Image width 240 mm
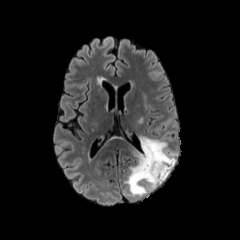
FLAIR MR image.
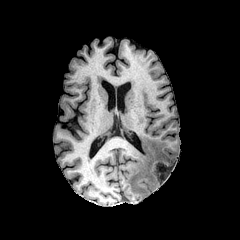
T1-weighted MRI of the same slice.
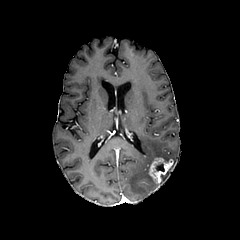
Post-contrast T1-weighted magnetic resonance.
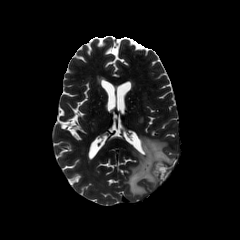
T2-weighted MR image.
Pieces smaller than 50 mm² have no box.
enhancing tumor: <bbox>149, 157, 173, 183</bbox> | peritumoral edema: <bbox>124, 136, 176, 195</bbox> | necrotic tumor core: <bbox>156, 163, 164, 171</bbox>